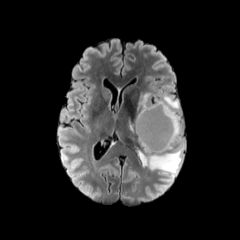
FLAIR MR.
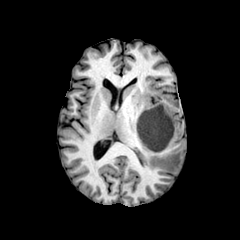
T1-weighted MR.
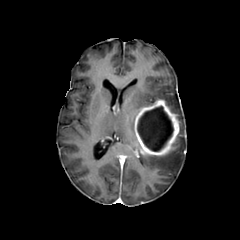
Same slice, post-contrast T1-weighted MR.
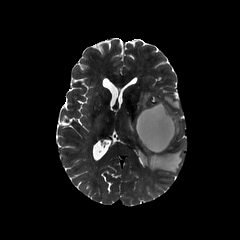
Same slice, T2-weighted MR.
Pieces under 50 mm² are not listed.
The 2 largest peritumoral edema regions are located at {"x1": 137, "y1": 94, "x2": 184, "y2": 174}, {"x1": 137, "y1": 92, "x2": 153, "y2": 113}. The necrotic tumor core is bounded by {"x1": 137, "y1": 106, "x2": 173, "y2": 151}. The enhancing tumor is at {"x1": 134, "y1": 99, "x2": 179, "y2": 156}.